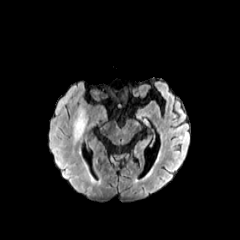
FLAIR MRI.
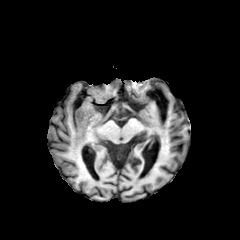
T1-weighted MR image of the same slice.
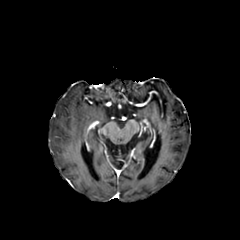
Post-contrast T1-weighted MR of the same slice.
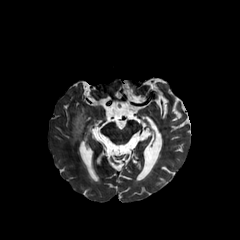
Same slice, T2-weighted MRI.
Head
peritumoral_edema:
  - {"x1": 74, "y1": 108, "x2": 87, "y2": 141}